FLAIR MRI.
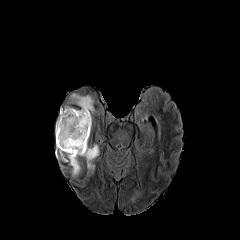
T1-weighted MR.
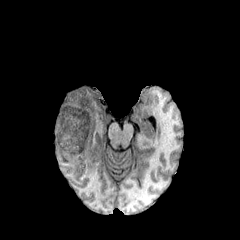
Post-contrast T1-weighted MRI.
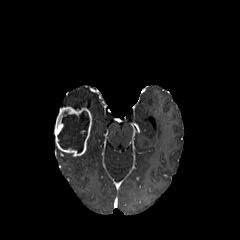
T2-weighted MR.
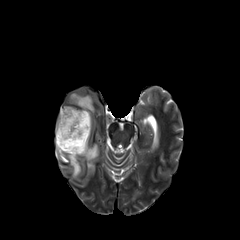
Brain
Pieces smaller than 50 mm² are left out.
Segmented structures:
- peritumoral edema: left=68, top=93, right=94, bottom=113; left=58, top=150, right=81, bottom=177; left=82, top=144, right=99, bottom=174
- necrotic tumor core: left=57, top=111, right=89, bottom=153
- enhancing tumor: left=54, top=106, right=91, bottom=156